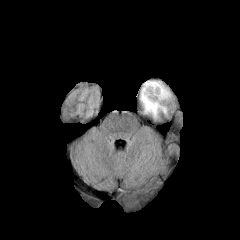
FLAIR MRI.
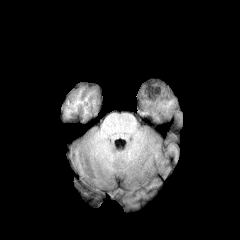
Same slice, T1-weighted MR.
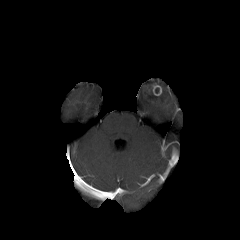
Same slice, post-contrast T1-weighted magnetic resonance.
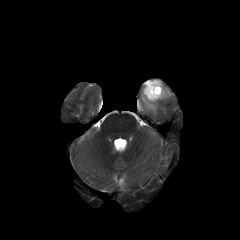
T2-weighted MR.
240x240
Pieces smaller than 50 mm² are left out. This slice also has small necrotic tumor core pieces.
• peritumoral edema: 140, 80, 171, 118
• enhancing tumor: 143, 83, 162, 104